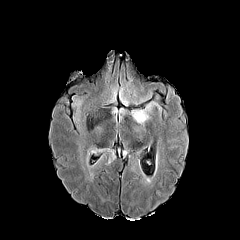
FLAIR MRI.
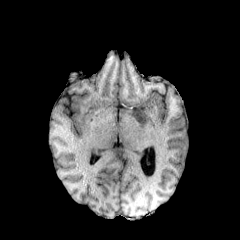
T1-weighted MRI.
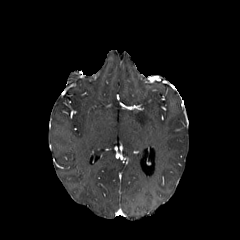
Post-contrast T1-weighted magnetic resonance.
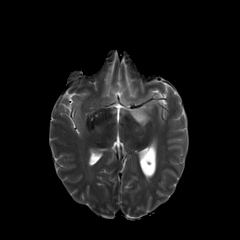
Same slice, T2-weighted MR image.
Brain
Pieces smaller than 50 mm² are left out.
<segmentation>
  <peritumoral_edema>90:148:110:154, 131:102:157:124</peritumoral_edema>
</segmentation>